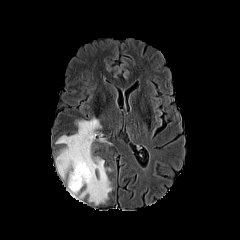
FLAIR magnetic resonance.
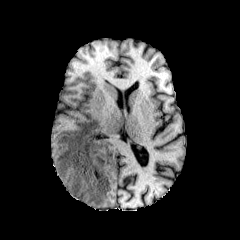
T1-weighted MRI.
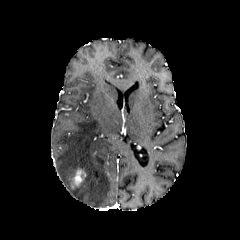
Post-contrast T1-weighted magnetic resonance.
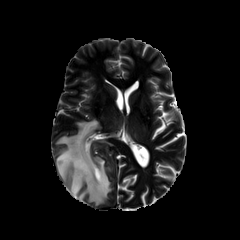
T2-weighted MRI.
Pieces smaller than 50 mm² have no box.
peritumoral edema: bbox=[56, 118, 112, 205] | enhancing tumor: bbox=[72, 169, 86, 188]